Image covers 240 mm x 240 mm. Brain.
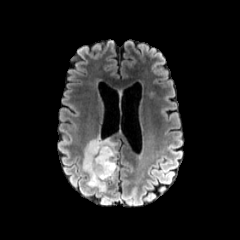
FLAIR MRI.
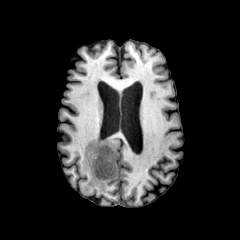
T1-weighted MR.
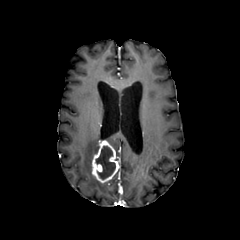
Post-contrast T1-weighted MRI of the same slice.
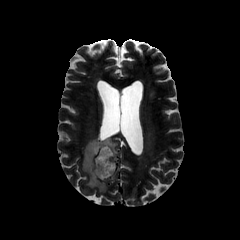
Same slice, T2-weighted MR.
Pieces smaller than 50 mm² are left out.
enhancing tumor at box(91, 140, 119, 183)
peritumoral edema at box(82, 135, 118, 192)
necrotic tumor core at box(96, 146, 115, 179)